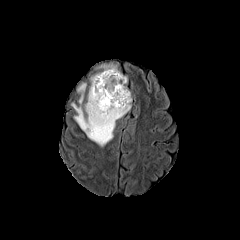
FLAIR magnetic resonance.
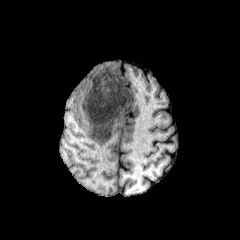
Same slice, T1-weighted MR.
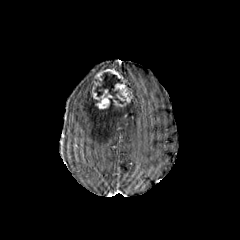
Post-contrast T1-weighted MR.
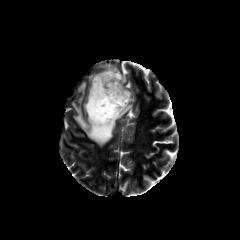
T2-weighted MRI.
Image size 240x240
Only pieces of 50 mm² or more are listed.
necrotic tumor core: {"x1": 101, "y1": 98, "x2": 125, "y2": 110}, {"x1": 92, "y1": 72, "x2": 126, "y2": 104} | peritumoral edema: {"x1": 72, "y1": 76, "x2": 131, "y2": 146}, {"x1": 78, "y1": 83, "x2": 86, "y2": 104}, {"x1": 100, "y1": 64, "x2": 119, "y2": 71} | enhancing tumor: {"x1": 92, "y1": 86, "x2": 113, "y2": 108}, {"x1": 94, "y1": 68, "x2": 132, "y2": 102}